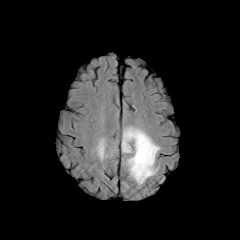
FLAIR MR.
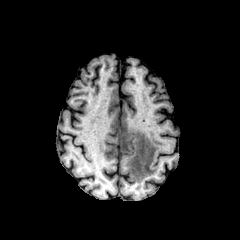
T1-weighted MR.
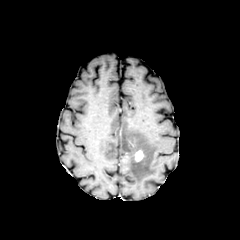
Post-contrast T1-weighted magnetic resonance of the same slice.
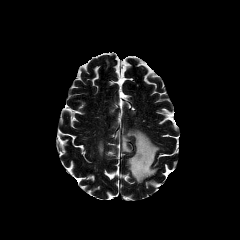
T2-weighted MRI.
Axial plane; Brain
{"peritumoral_edema": ["box(122, 127, 159, 184)", "box(97, 139, 104, 159)"], "enhancing_tumor": ["box(135, 150, 143, 161)"]}